FLAIR MR image.
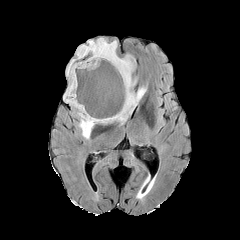
T1-weighted MR.
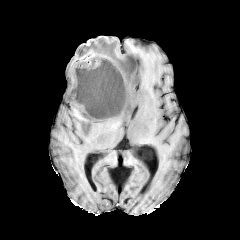
Post-contrast T1-weighted MRI.
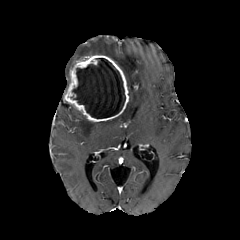
T2-weighted MR.
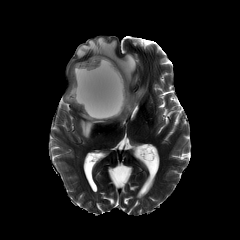
Axial slice
The peritumoral edema lies within l=66, t=37, r=146, b=139. The enhancing tumor appears at l=63, t=55, r=129, b=122. The necrotic tumor core lies within l=72, t=58, r=125, b=118.